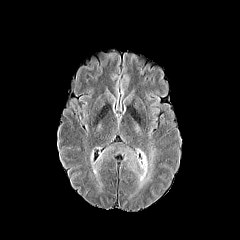
FLAIR MR.
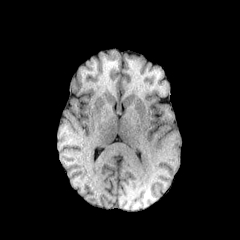
T1-weighted magnetic resonance.
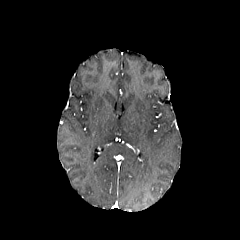
Post-contrast T1-weighted MR.
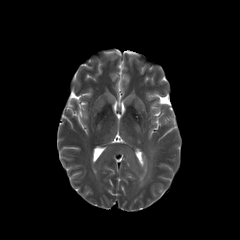
T2-weighted MR image.
Axial view
<segmentation>
  <peritumoral_edema>(x1=90, y1=145, x2=116, y2=185), (x1=118, y1=140, x2=157, y2=192)</peritumoral_edema>
</segmentation>